Slice 91/155
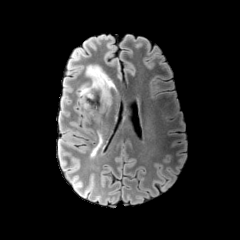
FLAIR MR image.
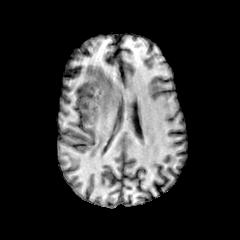
T1-weighted magnetic resonance.
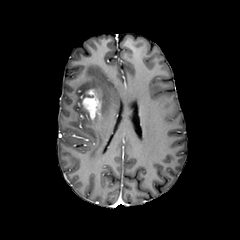
Same slice, post-contrast T1-weighted MRI.
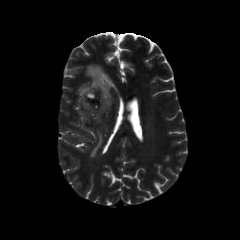
Same slice, T2-weighted MR.
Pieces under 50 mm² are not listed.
enhancing tumor = 82 87 103 121
peritumoral edema = 90 116 102 156, 78 65 115 114